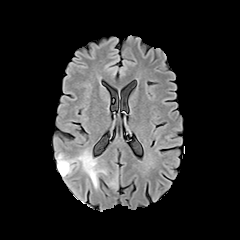
FLAIR magnetic resonance.
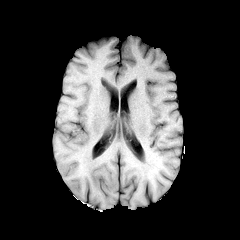
T1-weighted magnetic resonance.
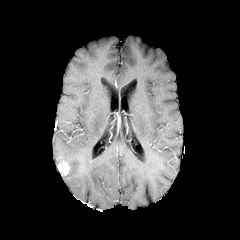
Post-contrast T1-weighted MRI of the same slice.
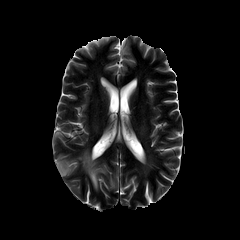
T2-weighted MR.
Axial view
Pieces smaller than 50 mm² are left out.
• enhancing tumor: x1=58, y1=161, x2=69, y2=174
• peritumoral edema: x1=57, y1=151, x2=106, y2=189